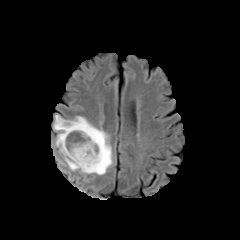
FLAIR MR image.
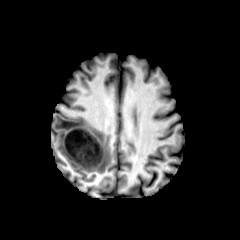
Same slice, T1-weighted magnetic resonance.
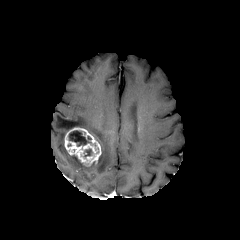
Same slice, post-contrast T1-weighted MRI.
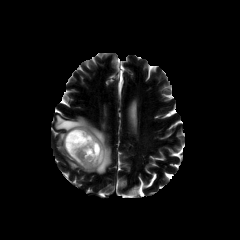
T2-weighted MR image of the same slice.
Head; Axial view
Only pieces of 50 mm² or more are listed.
peritumoral edema — 54, 115, 112, 174
necrotic tumor core — 68, 130, 90, 146
enhancing tumor — 64, 127, 102, 166